FLAIR MR image.
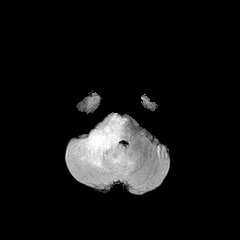
T1-weighted magnetic resonance.
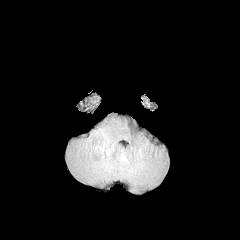
Post-contrast T1-weighted MR image.
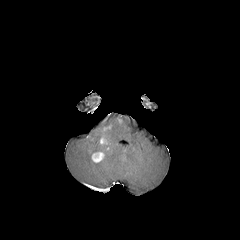
T2-weighted MR.
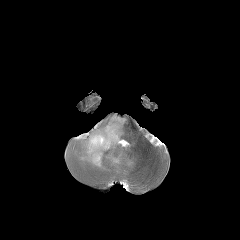
Axial plane
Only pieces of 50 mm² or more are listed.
enhancing tumor at bbox(98, 136, 108, 145); bbox(91, 151, 104, 162)
peritumoral edema at bbox(66, 114, 134, 183)